Slice 88 of 155, Brain, Axial slice
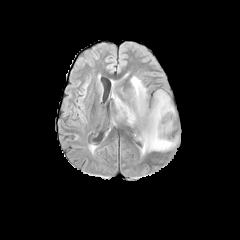
FLAIR MRI.
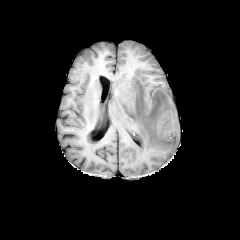
Same slice, T1-weighted MRI.
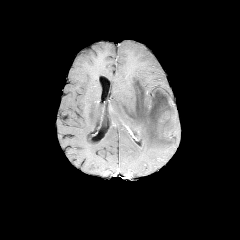
Post-contrast T1-weighted magnetic resonance.
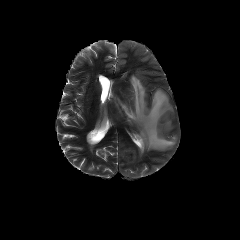
T2-weighted MR image.
peritumoral edema = 112,76,176,154